FLAIR magnetic resonance.
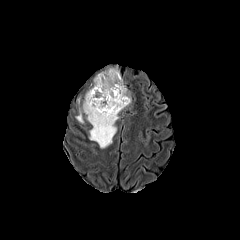
T1-weighted magnetic resonance.
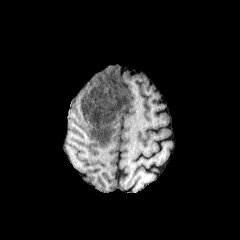
Post-contrast T1-weighted magnetic resonance.
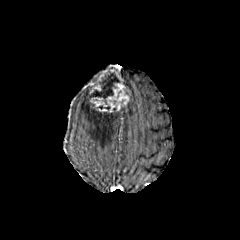
T2-weighted MRI.
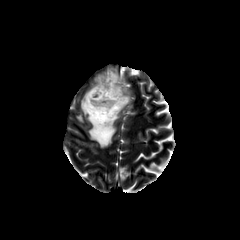
240x240 px, Axial plane, Brain
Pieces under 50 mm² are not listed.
{"enhancing_tumor": ["89 66 130 112"], "necrotic_tumor_core": ["89 71 120 107"], "peritumoral_edema": ["83 91 119 148"]}